Slice 76/155; Image width 240 mm, 1.00 mm slice spacing
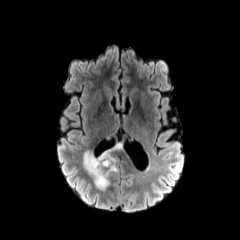
FLAIR MRI.
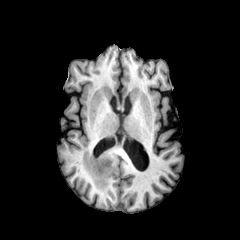
T1-weighted magnetic resonance.
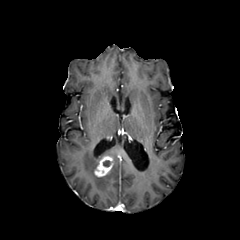
Post-contrast T1-weighted MR image.
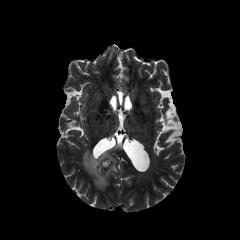
Same slice, T2-weighted magnetic resonance.
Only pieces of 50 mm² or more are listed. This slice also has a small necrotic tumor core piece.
Annotated regions:
- enhancing tumor: <box>94,156,113,176</box>
- peritumoral edema: <box>83,144,121,190</box>